Brain, Image covers 240 mm x 240 mm, Slice 77/155
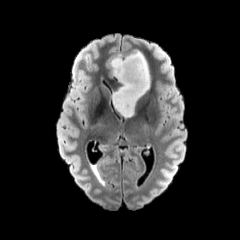
FLAIR MR image.
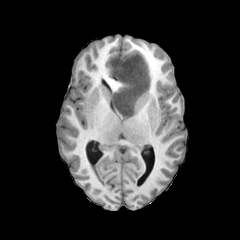
T1-weighted MR of the same slice.
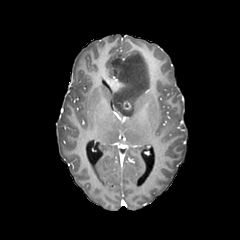
Post-contrast T1-weighted MR of the same slice.
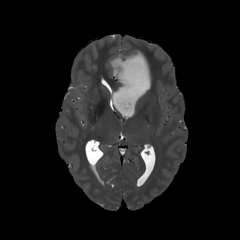
Same slice, T2-weighted magnetic resonance.
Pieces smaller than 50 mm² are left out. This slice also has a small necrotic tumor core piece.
The enhancing tumor is located at bbox=[123, 101, 131, 109]. The peritumoral edema is bounded by bbox=[109, 50, 150, 118].